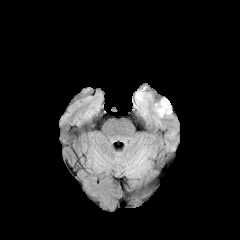
FLAIR MR.
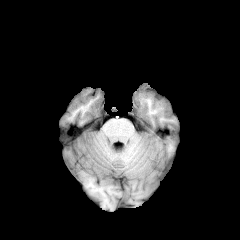
T1-weighted MRI of the same slice.
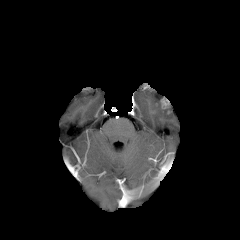
Post-contrast T1-weighted MR image.
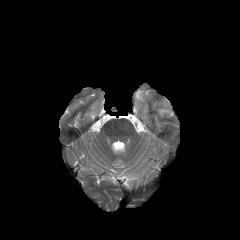
T2-weighted MR image of the same slice.
240x240
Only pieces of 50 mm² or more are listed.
2 peritumoral edema regions appear at 134:84:151:116, 154:100:171:117. The largest enhancing tumor region is at 161:98:170:108.